FLAIR MR image.
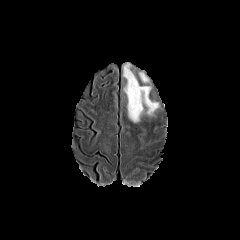
T1-weighted magnetic resonance.
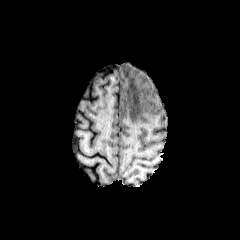
Post-contrast T1-weighted magnetic resonance.
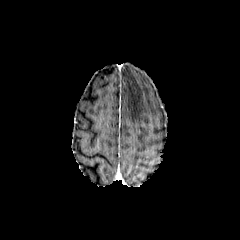
T2-weighted MR.
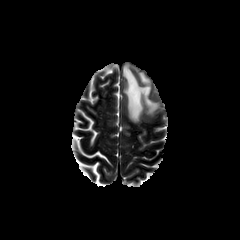
Brain | Axial slice
2 peritumoral edema regions appear at x1=123 y1=64 x2=159 y2=122, x1=139 y1=72 x2=149 y2=83.